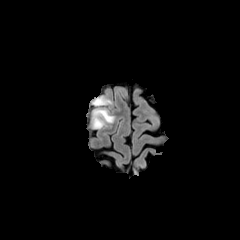
FLAIR MRI.
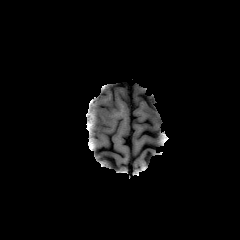
T1-weighted magnetic resonance of the same slice.
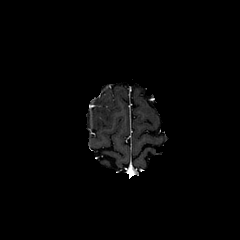
Post-contrast T1-weighted MR image of the same slice.
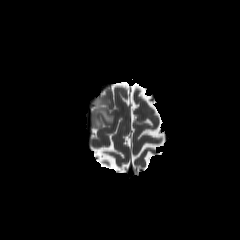
Same slice, T2-weighted magnetic resonance.
240x240; Axial slice
peritumoral_edema:
  - [91,96,114,128]